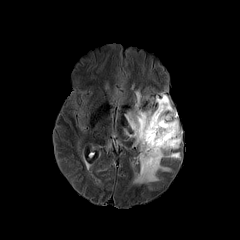
FLAIR MR image.
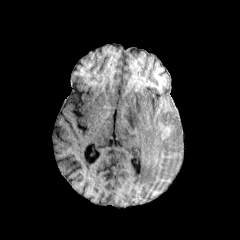
T1-weighted magnetic resonance of the same slice.
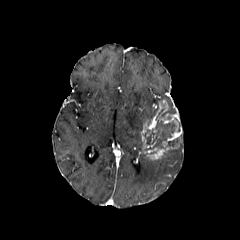
Post-contrast T1-weighted MR image.
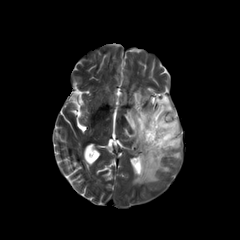
T2-weighted MR.
Brain
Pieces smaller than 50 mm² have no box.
Annotated regions:
• peritumoral edema: (x1=155, y1=95, x2=169, y2=103), (x1=125, y1=91, x2=170, y2=183), (x1=162, y1=150, x2=180, y2=158)
• necrotic tumor core: (x1=161, y1=102, x2=176, y2=116), (x1=167, y1=136, x2=180, y2=147), (x1=144, y1=115, x2=176, y2=150)
• enhancing tumor: (x1=143, y1=141, x2=179, y2=160), (x1=140, y1=100, x2=182, y2=149)